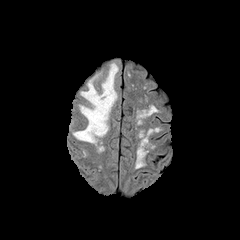
FLAIR MR image.
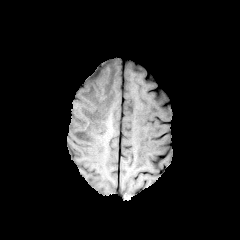
T1-weighted MRI.
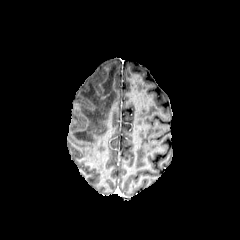
Post-contrast T1-weighted MRI.
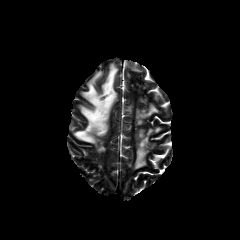
Same slice, T2-weighted MR image.
Brain | 240x240
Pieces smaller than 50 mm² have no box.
<segmentation>
  <peritumoral_edema><box>73,63,118,145</box></peritumoral_edema>
</segmentation>